FLAIR MR image.
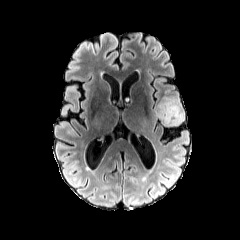
T1-weighted magnetic resonance.
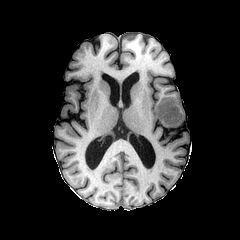
Post-contrast T1-weighted MRI.
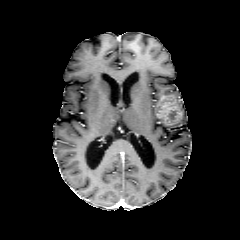
T2-weighted MRI.
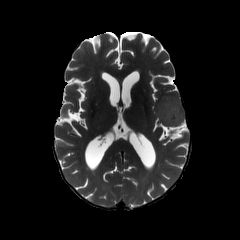
Brain
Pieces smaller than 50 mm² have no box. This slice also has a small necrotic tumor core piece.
enhancing tumor: box=[156, 96, 182, 124] | peritumoral edema: box=[166, 96, 184, 125]